Image width 240 mm | Slice 55 of 155 | Head
FLAIR MR image.
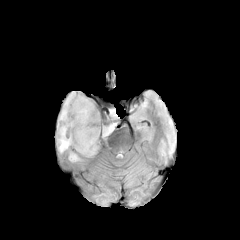
T1-weighted MR image.
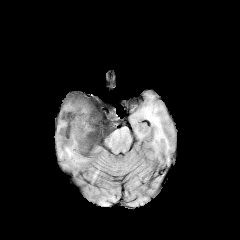
Post-contrast T1-weighted MR image.
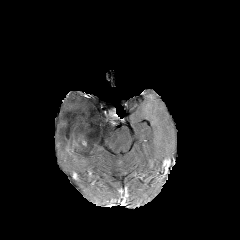
T2-weighted magnetic resonance.
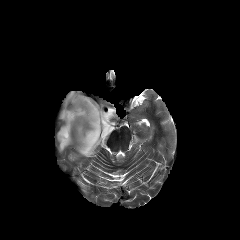
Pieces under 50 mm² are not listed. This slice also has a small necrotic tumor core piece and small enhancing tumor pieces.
peritumoral edema at l=57, t=91, r=116, b=157; l=69, t=152, r=79, b=161